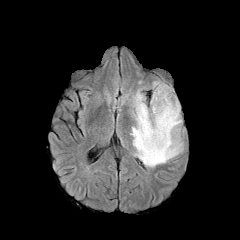
FLAIR MRI.
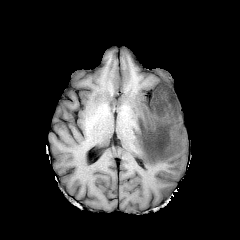
T1-weighted magnetic resonance.
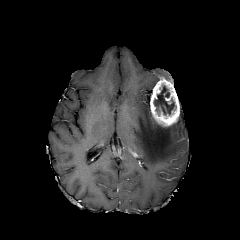
Same slice, post-contrast T1-weighted magnetic resonance.
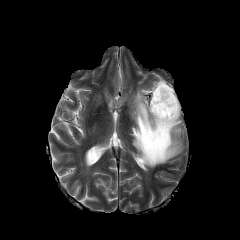
T2-weighted magnetic resonance.
Axial plane
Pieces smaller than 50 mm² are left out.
Annotated regions:
- enhancing tumor: rect(150, 77, 179, 126)
- necrotic tumor core: rect(154, 86, 174, 114)
- peritumoral edema: rect(131, 89, 183, 167)